FLAIR magnetic resonance.
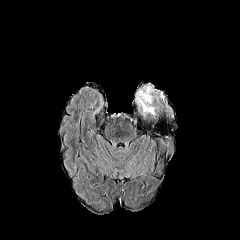
T1-weighted MRI.
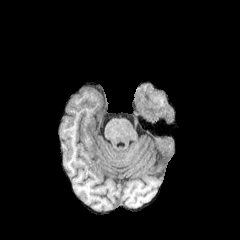
Post-contrast T1-weighted magnetic resonance.
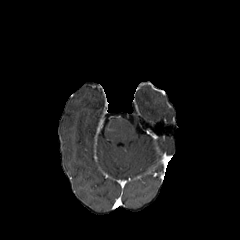
T2-weighted MR.
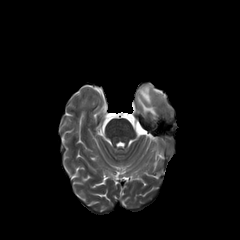
Axial slice, Head
peritumoral_edema:
  - (x1=137, y1=86, x2=155, y2=114)